FLAIR magnetic resonance.
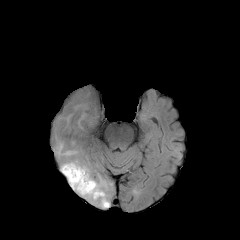
T1-weighted magnetic resonance.
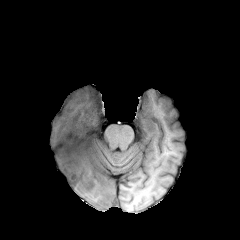
Post-contrast T1-weighted MR.
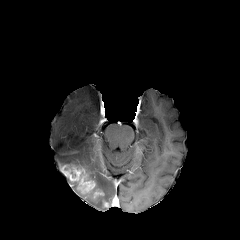
T2-weighted MRI.
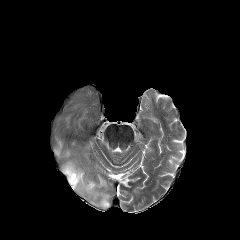
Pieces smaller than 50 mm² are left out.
* peritumoral edema: x1=53 y1=136 x2=112 y2=208
* enhancing tumor: x1=60 y1=164 x2=95 y2=194, x1=93 y1=190 x2=103 y2=198